Slice 41 of 155. Brain. Axial view.
FLAIR MR.
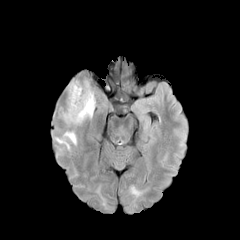
T1-weighted MR image.
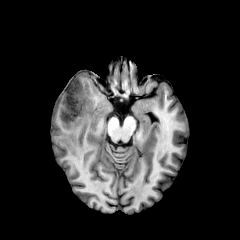
Post-contrast T1-weighted MR image.
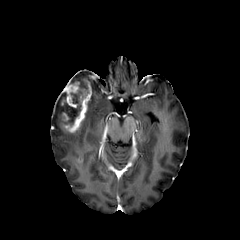
T2-weighted MR image.
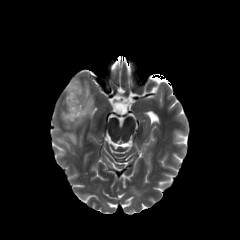
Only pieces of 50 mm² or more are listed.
The largest necrotic tumor core region is located at <bbox>65, 78, 87, 126</bbox>. 3 enhancing tumor regions appear at <bbox>62, 109, 68, 122</bbox>, <bbox>64, 78, 91, 132</bbox>, <bbox>60, 80, 80, 107</bbox>. The 2 largest peritumoral edema regions are located at <bbox>85, 91, 95, 118</bbox>, <bbox>55, 132, 76, 149</bbox>.